Image covers 240 mm x 240 mm, Slice 95 of 155, Head
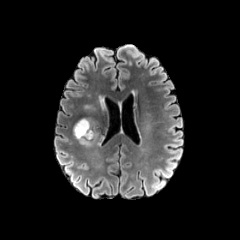
FLAIR magnetic resonance.
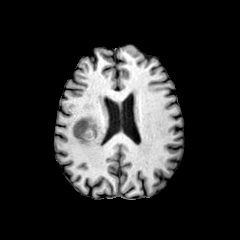
T1-weighted magnetic resonance of the same slice.
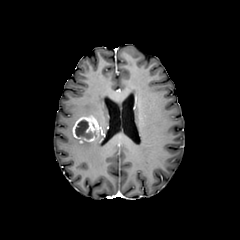
Post-contrast T1-weighted magnetic resonance.
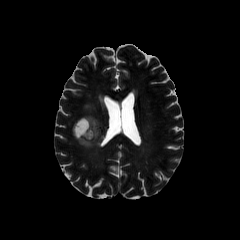
T2-weighted magnetic resonance.
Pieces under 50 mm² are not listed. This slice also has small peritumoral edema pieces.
The necrotic tumor core is at (75, 120, 93, 139). The enhancing tumor is at (73, 117, 98, 142).